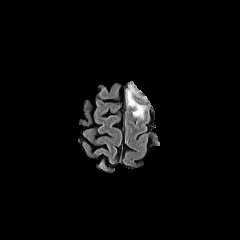
FLAIR MRI.
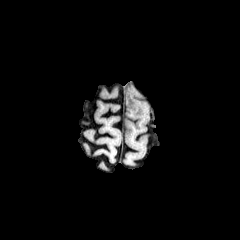
Same slice, T1-weighted magnetic resonance.
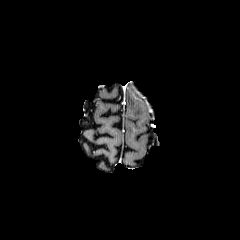
Post-contrast T1-weighted magnetic resonance of the same slice.
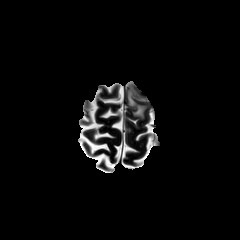
T2-weighted MR image.
Brain | Axial view
peritumoral edema — [127,86,145,118]